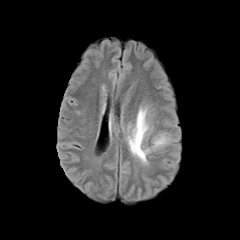
FLAIR MR.
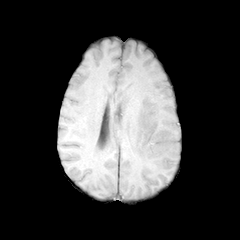
T1-weighted MRI.
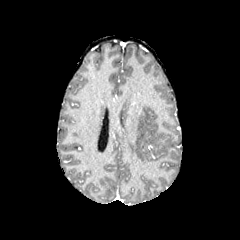
Same slice, post-contrast T1-weighted MR image.
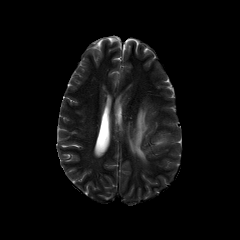
Same slice, T2-weighted MR.
Head.
2 peritumoral edema regions are bounded by box(128, 106, 148, 163); box(153, 133, 167, 147).